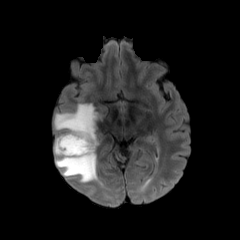
FLAIR MR.
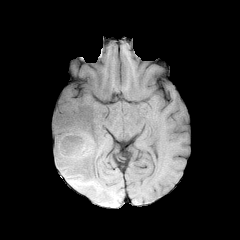
T1-weighted MRI of the same slice.
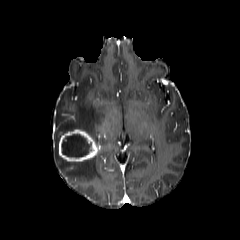
Post-contrast T1-weighted magnetic resonance.
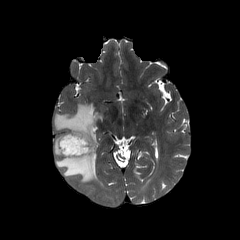
T2-weighted MRI of the same slice.
Axial view | Image size 240x240
necrotic tumor core = (62, 134, 90, 157)
peritumoral edema = (53, 103, 99, 183)
enhancing tumor = (58, 129, 100, 162)